FLAIR MR image.
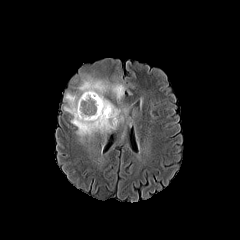
T1-weighted MRI.
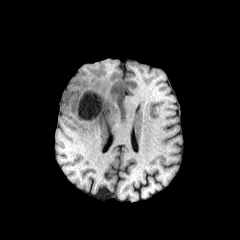
Post-contrast T1-weighted MR.
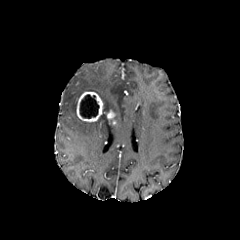
T2-weighted MRI.
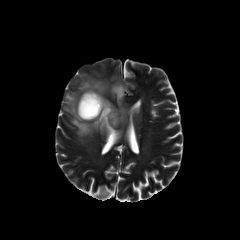
Axial view
The enhancing tumor appears at 76, 91, 116, 124. The peritumoral edema lies within 63, 68, 125, 139. The necrotic tumor core is located at 79, 94, 99, 118.